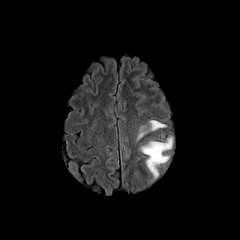
FLAIR MR image.
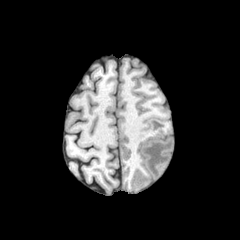
Same slice, T1-weighted magnetic resonance.
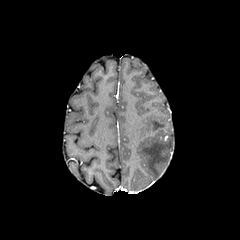
Post-contrast T1-weighted MR image.
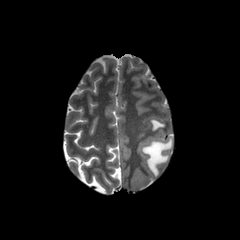
T2-weighted MR image.
Axial plane, Image size 240x240
2 peritumoral edema regions are located at 137 120 165 140, 141 137 172 177.